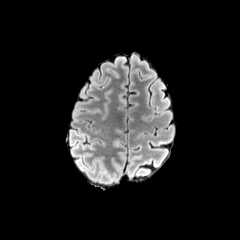
FLAIR MR image.
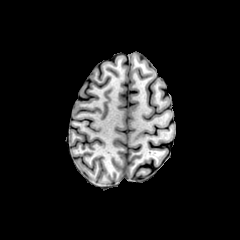
Same slice, T1-weighted MRI.
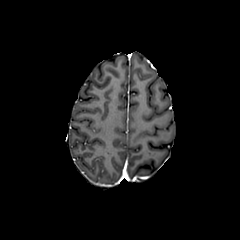
Post-contrast T1-weighted MR image.
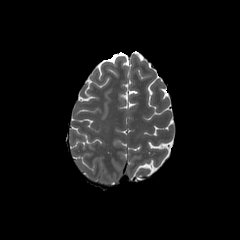
Same slice, T2-weighted magnetic resonance.
Axial slice
The peritumoral edema is at 99,180,111,186.